FLAIR magnetic resonance.
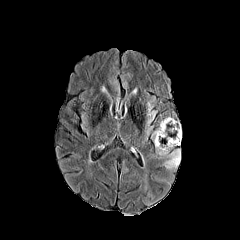
T1-weighted MR image.
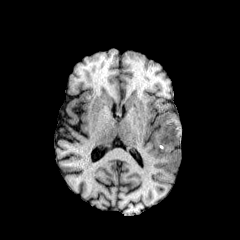
Post-contrast T1-weighted MR.
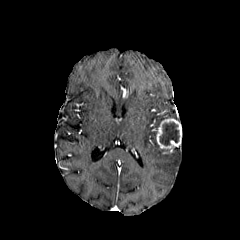
T2-weighted MRI.
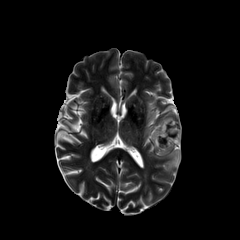
240x240 px
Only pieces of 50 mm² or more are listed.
enhancing tumor: [156, 118, 181, 150] | necrotic tumor core: [160, 122, 179, 145] | peritumoral edema: [152, 130, 180, 169], [147, 106, 154, 126]